FLAIR MRI.
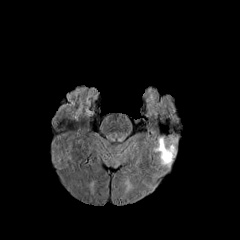
T1-weighted MRI.
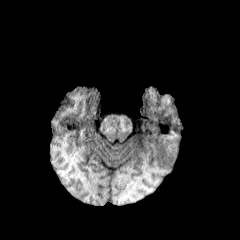
Post-contrast T1-weighted magnetic resonance.
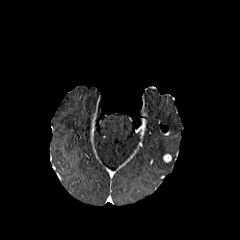
T2-weighted magnetic resonance.
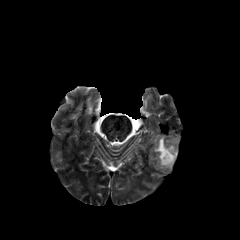
Brain; 240x240; Axial slice
The enhancing tumor lies within [163, 153, 171, 162]. The peritumoral edema lies within [154, 137, 176, 167].